FLAIR MR.
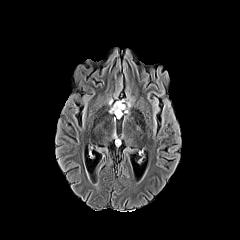
T1-weighted magnetic resonance.
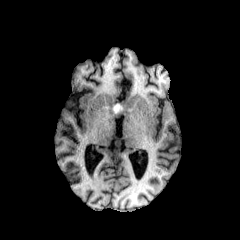
Post-contrast T1-weighted MR image.
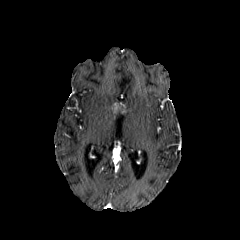
T2-weighted MR.
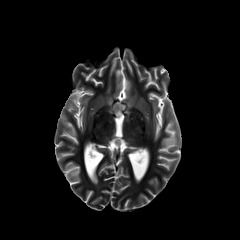
Head.
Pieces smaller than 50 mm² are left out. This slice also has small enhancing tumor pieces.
necrotic_tumor_core:
  - <bbox>114, 103, 123, 117</bbox>
peritumoral_edema:
  - <bbox>121, 99, 131, 114</bbox>